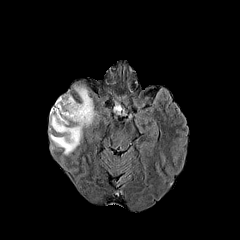
FLAIR MR image.
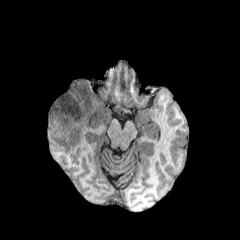
T1-weighted MRI of the same slice.
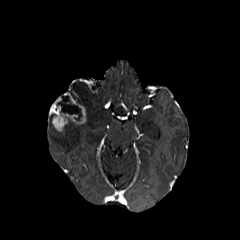
Post-contrast T1-weighted MRI of the same slice.
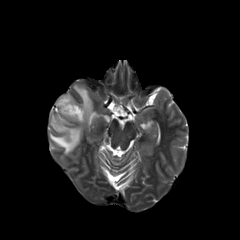
T2-weighted MR of the same slice.
Head
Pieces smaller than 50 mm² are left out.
<segmentation>
  <enhancing_tumor>left=49, top=92, right=86, bottom=131</enhancing_tumor>
  <peritumoral_edema>left=49, top=85, right=96, bottom=155</peritumoral_edema>
  <necrotic_tumor_core>left=57, top=96, right=82, bottom=120</necrotic_tumor_core>
</segmentation>